Image width 240 mm, 1.00 mm slice spacing
FLAIR magnetic resonance.
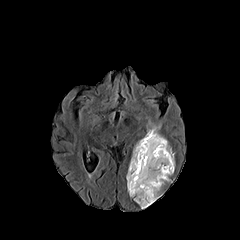
T1-weighted MR image.
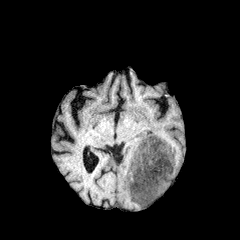
Post-contrast T1-weighted MR.
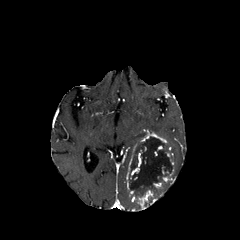
T2-weighted MR image.
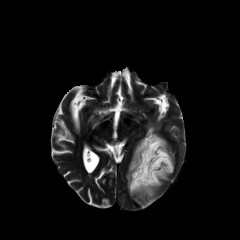
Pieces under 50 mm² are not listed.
peritumoral edema at <bbox>148, 123, 162, 136</bbox>
enhancing tumor at <bbox>165, 147, 174, 165</bbox>, <bbox>153, 182, 164, 190</bbox>, <bbox>130, 150, 142, 179</bbox>, <bbox>126, 158, 157, 209</bbox>, <bbox>140, 131, 167, 143</bbox>, <bbox>162, 167, 174, 182</bbox>
necrotic tumor core at <bbox>129, 137, 174, 197</bbox>